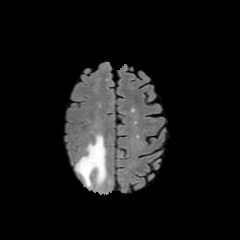
FLAIR MR image.
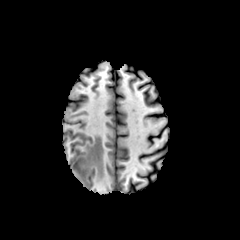
T1-weighted MRI of the same slice.
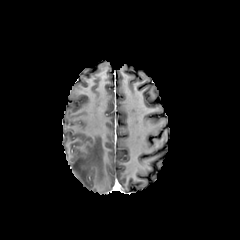
Post-contrast T1-weighted MR image.
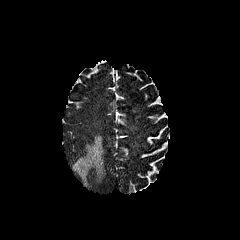
T2-weighted MR image.
Brain
The peritumoral edema lies within [x1=75, y1=134, x2=106, y2=187].